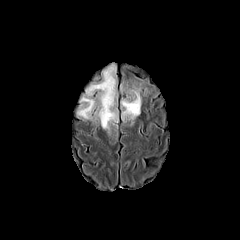
FLAIR MR image.
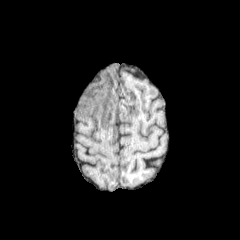
T1-weighted MRI.
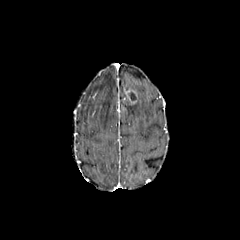
Post-contrast T1-weighted MRI.
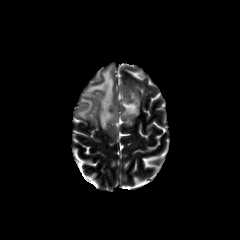
T2-weighted magnetic resonance.
Axial plane
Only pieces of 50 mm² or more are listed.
peritumoral edema: [x1=120, y1=86, x2=141, y2=120], [x1=76, y1=64, x2=117, y2=131] | necrotic tumor core: [x1=128, y1=92, x2=136, y2=101] | enhancing tumor: [x1=123, y1=87, x2=136, y2=103]